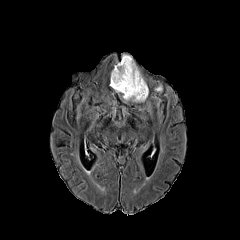
FLAIR MRI.
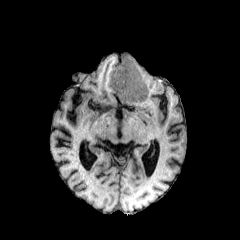
T1-weighted MRI.
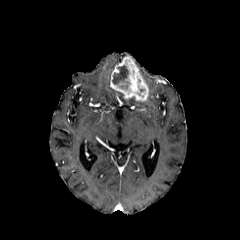
Post-contrast T1-weighted MRI of the same slice.
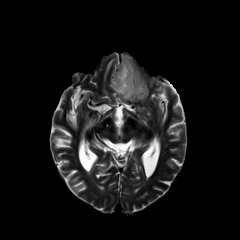
T2-weighted magnetic resonance.
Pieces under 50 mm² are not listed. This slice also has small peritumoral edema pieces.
enhancing tumor: bounding box [x1=110, y1=55, x2=148, y2=101]
necrotic tumor core: bounding box [x1=112, y1=65, x2=128, y2=84]